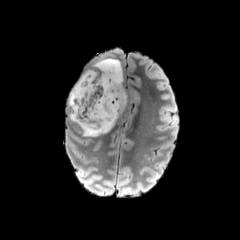
FLAIR magnetic resonance.
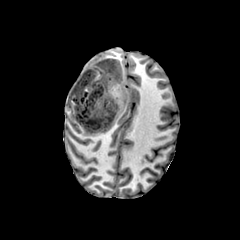
T1-weighted magnetic resonance.
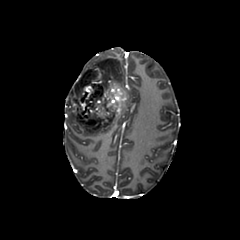
Post-contrast T1-weighted MRI.
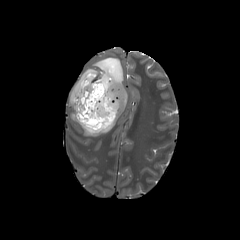
T2-weighted MR image.
Head; Axial plane
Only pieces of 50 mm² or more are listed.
Annotated regions:
• necrotic tumor core: box=[77, 80, 107, 123]; box=[81, 71, 97, 90]
• peritumoral edema: box=[69, 58, 123, 106]; box=[70, 112, 119, 136]
• enhancing tumor: box=[71, 70, 127, 125]